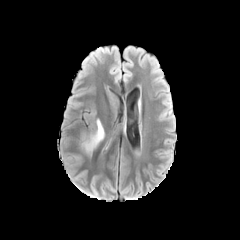
FLAIR MR image.
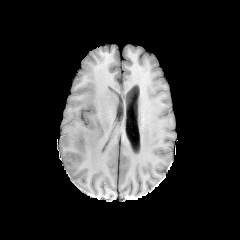
T1-weighted MR of the same slice.
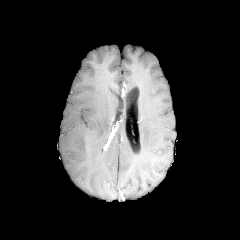
Post-contrast T1-weighted magnetic resonance of the same slice.
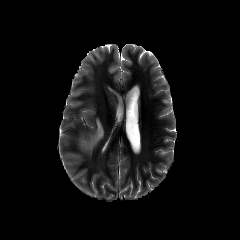
Same slice, T2-weighted MR.
Axial plane, Head
{"peritumoral_edema": ["(82, 119, 104, 154)"]}